FLAIR MRI.
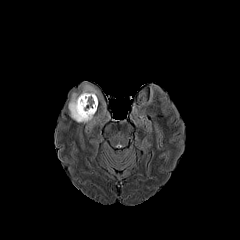
T1-weighted MR.
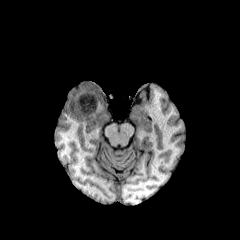
Post-contrast T1-weighted MRI.
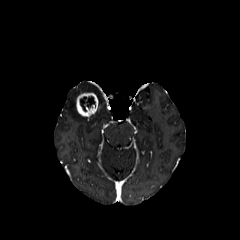
T2-weighted MRI.
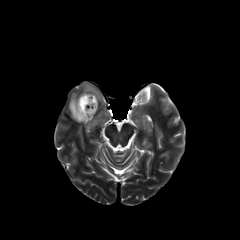
240x240 px; Brain; Axial plane
The enhancing tumor is bounded by [x1=76, y1=93, x2=98, y2=118]. The necrotic tumor core appears at [x1=80, y1=96, x2=95, y2=111]. The peritumoral edema appears at [x1=68, y1=81, x2=109, y2=133].